240x240. Brain. Axial slice.
FLAIR MR image.
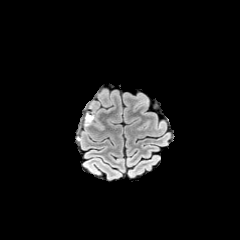
T1-weighted MRI.
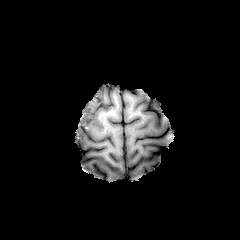
Post-contrast T1-weighted MR image.
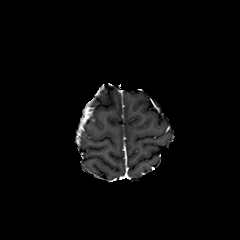
T2-weighted MRI.
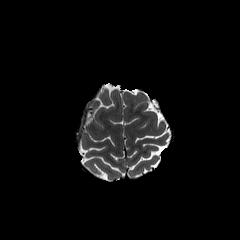
<segmentation>
  <peritumoral_edema><box>85,114,94,124</box></peritumoral_edema>
</segmentation>